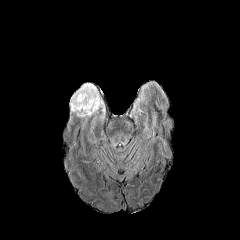
FLAIR MR.
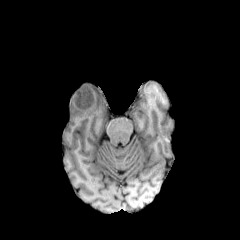
T1-weighted magnetic resonance.
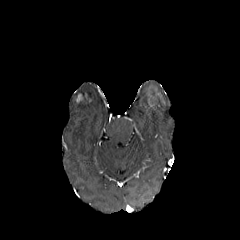
Post-contrast T1-weighted MR image of the same slice.
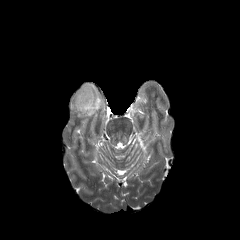
T2-weighted magnetic resonance of the same slice.
Axial slice. Image size 240x240.
enhancing tumor at [76,92,91,103]
peritumoral edema at [69,82,106,115]